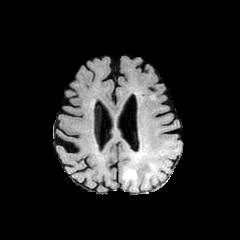
FLAIR MRI.
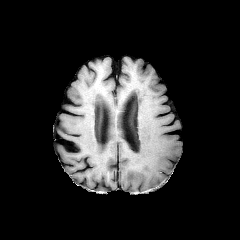
T1-weighted MR of the same slice.
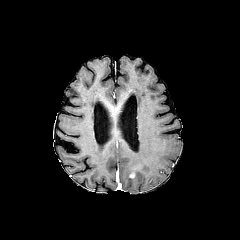
Post-contrast T1-weighted MR image of the same slice.
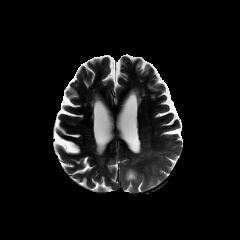
T2-weighted MRI.
Axial plane; Image size 240x240
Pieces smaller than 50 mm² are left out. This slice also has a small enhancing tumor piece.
peritumoral edema: l=126, t=154, r=137, b=185